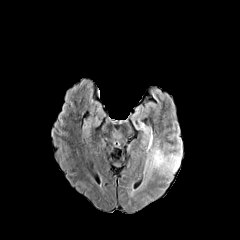
FLAIR magnetic resonance.
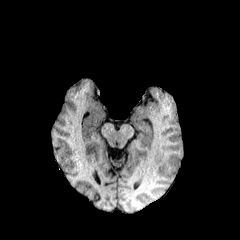
T1-weighted magnetic resonance.
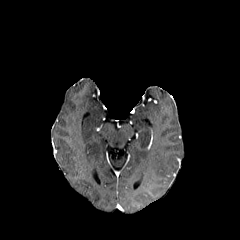
Same slice, post-contrast T1-weighted magnetic resonance.
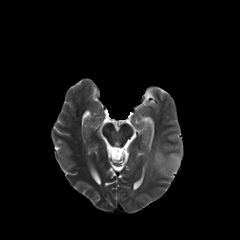
T2-weighted MR of the same slice.
Brain, 240x240 px
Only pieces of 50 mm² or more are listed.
peritumoral edema: bounding box [x1=139, y1=125, x2=182, y2=173]